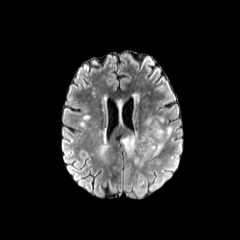
FLAIR MR image.
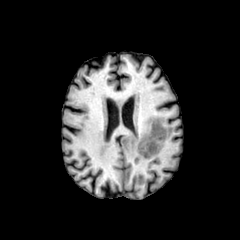
Same slice, T1-weighted MR image.
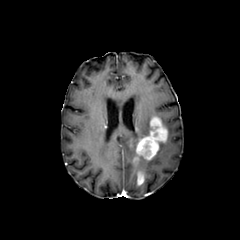
Post-contrast T1-weighted MR image.
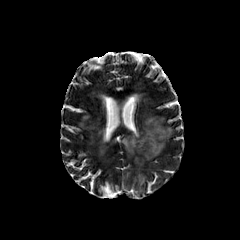
Same slice, T2-weighted MR.
Brain. 240x240.
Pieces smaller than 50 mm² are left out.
The 4 largest peritumoral edema regions are bounded by <box>154,142,164,156</box>, <box>141,117,151,138</box>, <box>166,126,173,138</box>, <box>121,132,139,157</box>. The 2 largest enhancing tumor regions are located at <box>136,116,167,159</box>, <box>137,172,144,185</box>.